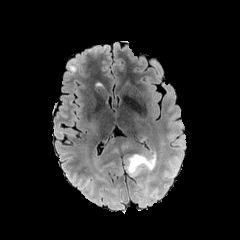
FLAIR MRI.
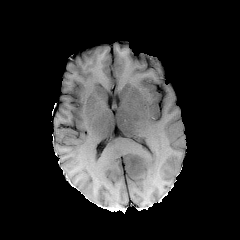
T1-weighted MR image.
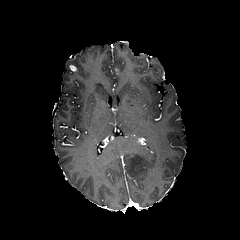
Post-contrast T1-weighted magnetic resonance of the same slice.
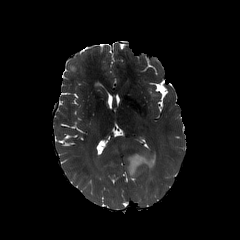
T2-weighted MR image.
Axial slice
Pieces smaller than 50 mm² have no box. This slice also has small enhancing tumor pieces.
The largest peritumoral edema region is at 126 153 156 176.